Head; Image size 240x240; Axial plane
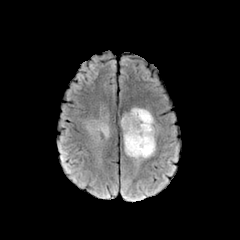
FLAIR MR.
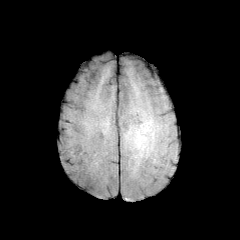
T1-weighted MRI of the same slice.
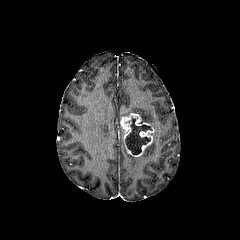
Post-contrast T1-weighted MRI.
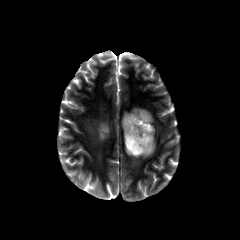
T2-weighted magnetic resonance.
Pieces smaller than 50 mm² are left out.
necrotic tumor core = left=125, top=117, right=151, bottom=154
peritumoral edema = left=130, top=107, right=155, bottom=158; left=98, top=123, right=109, bottom=136
enhancing tumor = left=120, top=113, right=154, bottom=156